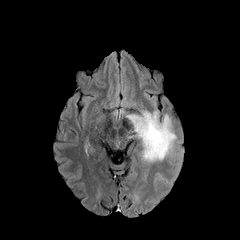
FLAIR MR image.
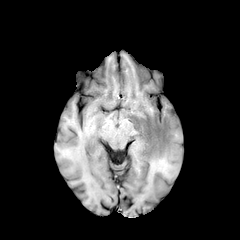
T1-weighted MR.
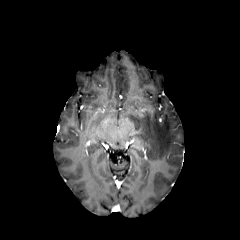
Post-contrast T1-weighted magnetic resonance of the same slice.
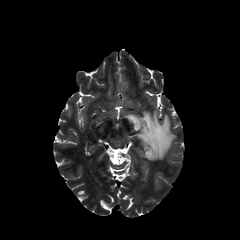
T2-weighted MR.
Brain.
peritumoral edema: 127, 111, 176, 161